FLAIR MR image.
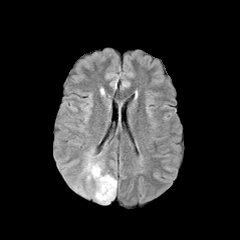
T1-weighted magnetic resonance.
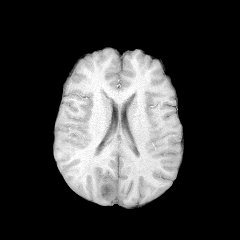
Post-contrast T1-weighted MR.
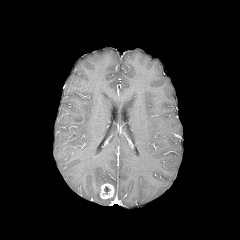
T2-weighted MRI.
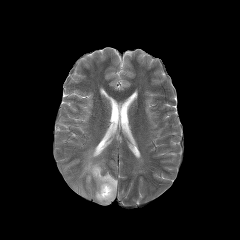
Brain
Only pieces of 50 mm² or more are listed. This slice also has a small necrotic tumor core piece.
The enhancing tumor lies within bbox(100, 183, 114, 199). The peritumoral edema is located at bbox(72, 148, 117, 204).